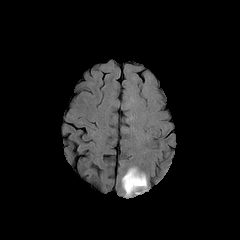
FLAIR MRI.
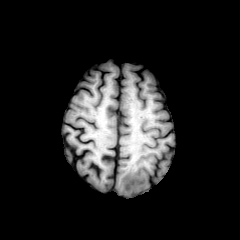
Same slice, T1-weighted magnetic resonance.
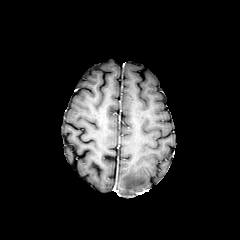
Post-contrast T1-weighted magnetic resonance.
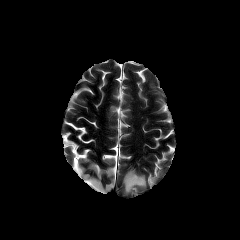
T2-weighted magnetic resonance of the same slice.
Head | Axial plane
peritumoral edema = left=122, top=168, right=146, bottom=195